FLAIR MR image.
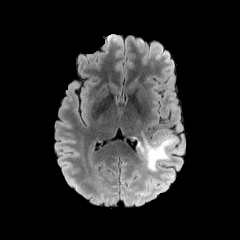
T1-weighted magnetic resonance.
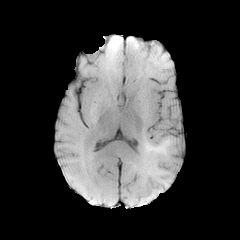
Post-contrast T1-weighted MRI.
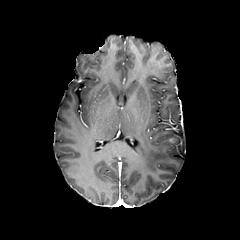
T2-weighted MR image.
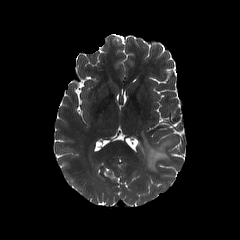
240x240
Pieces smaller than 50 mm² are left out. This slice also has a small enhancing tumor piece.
peritumoral edema — (138, 134, 176, 171)